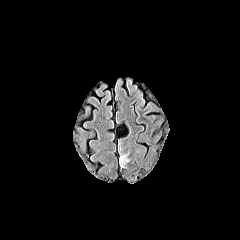
FLAIR MRI.
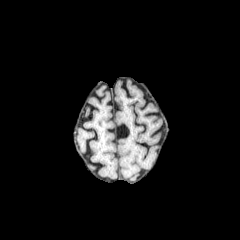
T1-weighted MR image.
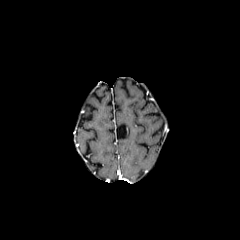
Post-contrast T1-weighted MR image.
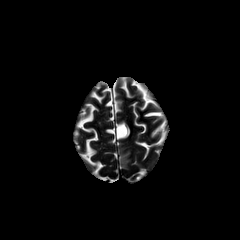
Same slice, T2-weighted magnetic resonance.
Axial plane
The peritumoral edema lies within bbox(119, 154, 128, 167).